FLAIR MRI.
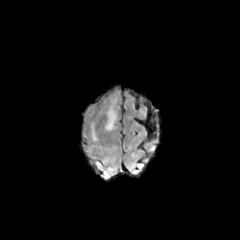
T1-weighted magnetic resonance.
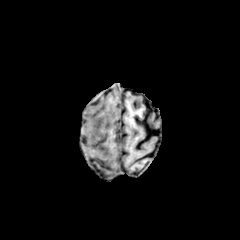
Post-contrast T1-weighted MRI.
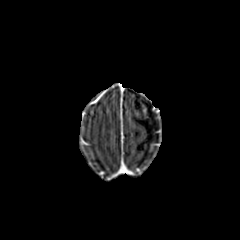
T2-weighted MR.
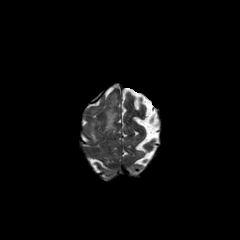
peritumoral edema at <bbox>91, 125, 97, 140</bbox>, <bbox>105, 105, 116, 130</bbox>